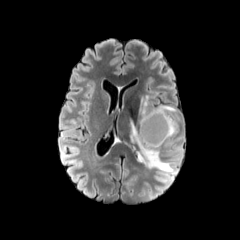
FLAIR MR image.
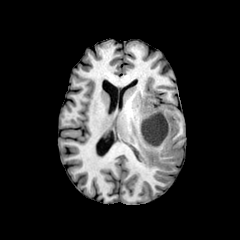
Same slice, T1-weighted magnetic resonance.
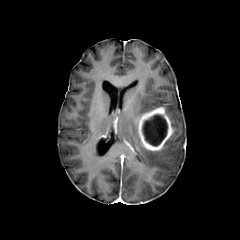
Post-contrast T1-weighted MR.
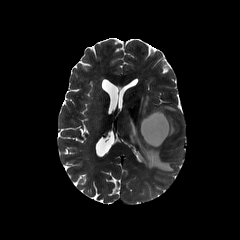
T2-weighted MR.
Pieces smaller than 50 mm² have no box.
peritumoral edema: bbox=[130, 118, 177, 172]; bbox=[139, 95, 156, 118]; bbox=[157, 105, 177, 146]
necrotic tumor core: bbox=[142, 114, 167, 146]
enhancing tumor: bbox=[138, 106, 174, 151]